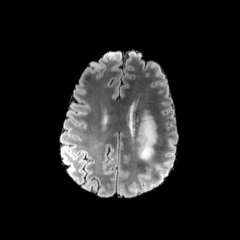
FLAIR MR image.
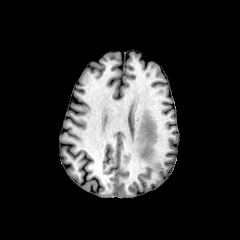
T1-weighted MRI.
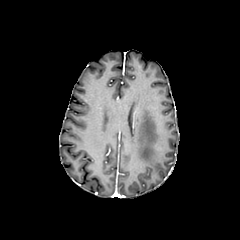
Post-contrast T1-weighted MR.
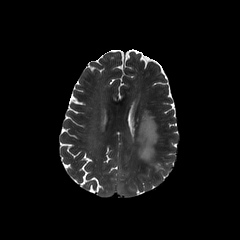
Same slice, T2-weighted MR.
Axial slice
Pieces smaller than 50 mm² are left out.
{
  "peritumoral_edema": [
    "[138, 111, 158, 161]"
  ]
}